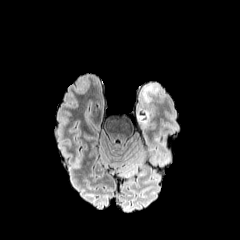
FLAIR MR.
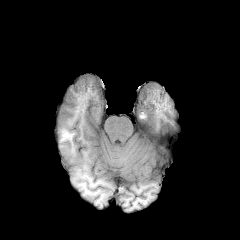
T1-weighted MR.
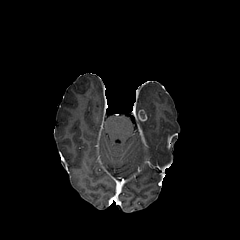
Post-contrast T1-weighted magnetic resonance of the same slice.
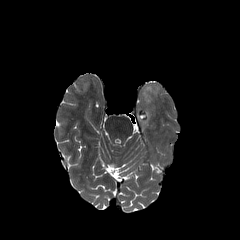
T2-weighted MR of the same slice.
Axial slice | Brain
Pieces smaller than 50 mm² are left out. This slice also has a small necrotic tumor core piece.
{"peritumoral_edema": ["[137, 109, 149, 127]", "[143, 86, 157, 103]"], "enhancing_tumor": ["[138, 109, 147, 121]"]}